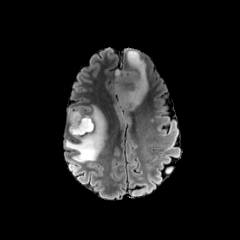
FLAIR magnetic resonance.
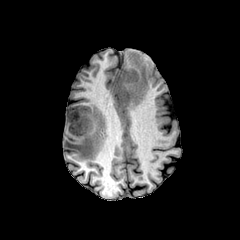
T1-weighted MR of the same slice.
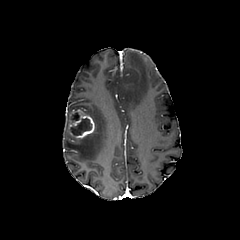
Same slice, post-contrast T1-weighted magnetic resonance.
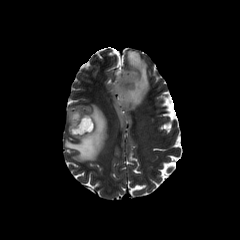
T2-weighted MR image.
Axial plane
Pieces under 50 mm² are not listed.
The 2 largest peritumoral edema regions appear at 113:50:148:108, 65:105:106:162. 2 necrotic tumor core regions appear at 71:113:79:121, 70:118:91:135. The enhancing tumor appears at 67:109:94:138.